Axial view, Image width 240 mm, 1.00 mm slice spacing
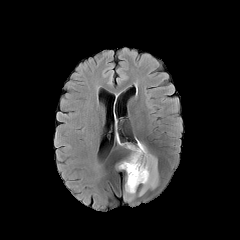
FLAIR MRI.
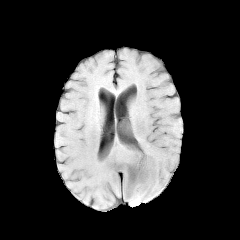
Same slice, T1-weighted MR image.
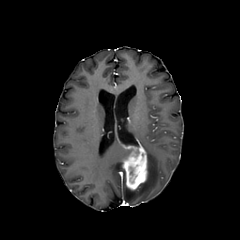
Same slice, post-contrast T1-weighted MRI.
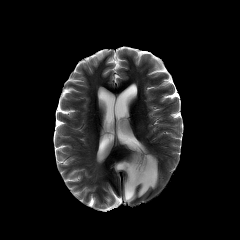
T2-weighted magnetic resonance of the same slice.
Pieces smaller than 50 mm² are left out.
The enhancing tumor is bounded by [122,142,147,190]. The 2 largest peritumoral edema regions are located at [123,142,158,202], [115,161,123,169].